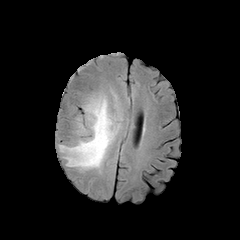
FLAIR MRI.
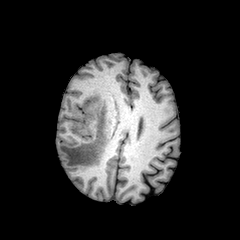
T1-weighted MR image of the same slice.
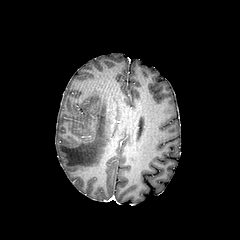
Post-contrast T1-weighted magnetic resonance of the same slice.
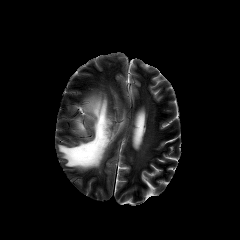
T2-weighted magnetic resonance of the same slice.
Axial slice
- peritumoral edema: box=[76, 117, 86, 134]; box=[59, 93, 119, 170]